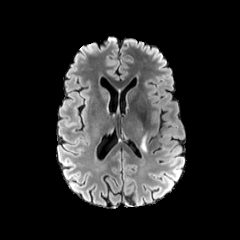
FLAIR magnetic resonance.
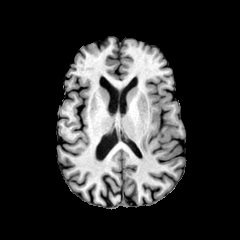
T1-weighted MRI of the same slice.
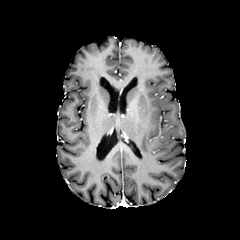
Post-contrast T1-weighted MRI.
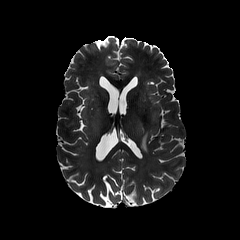
T2-weighted MRI.
240x240 | Axial view
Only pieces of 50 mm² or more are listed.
The largest peritumoral edema region is located at rect(139, 127, 149, 154).